FLAIR MR.
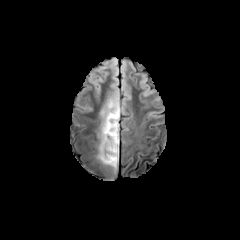
T1-weighted magnetic resonance.
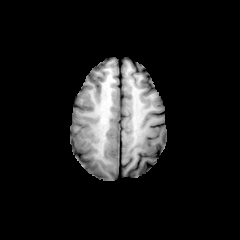
Post-contrast T1-weighted magnetic resonance.
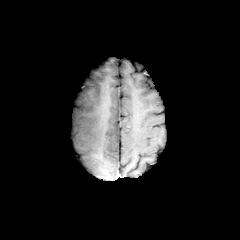
T2-weighted magnetic resonance.
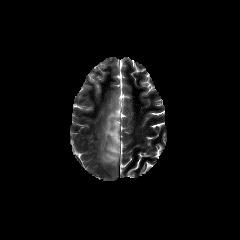
Axial view
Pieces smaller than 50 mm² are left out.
peritumoral edema = [100,106,119,166]